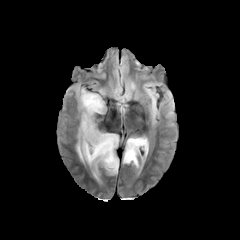
FLAIR magnetic resonance.
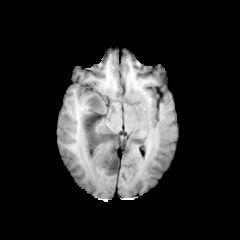
Same slice, T1-weighted MR image.
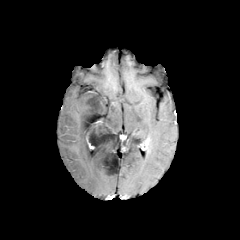
Post-contrast T1-weighted MR image.
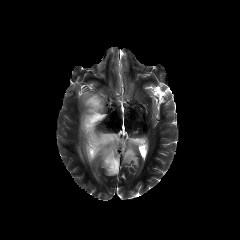
T2-weighted magnetic resonance.
Axial slice | Brain
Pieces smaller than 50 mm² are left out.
peritumoral edema = rect(123, 137, 148, 167); rect(77, 89, 118, 178)
necrotic tumor core = rect(90, 98, 98, 107); rect(83, 110, 115, 152); rect(104, 152, 118, 172)